FLAIR MRI.
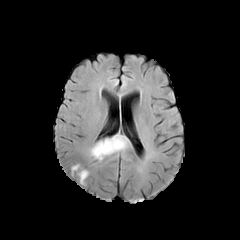
T1-weighted MR image.
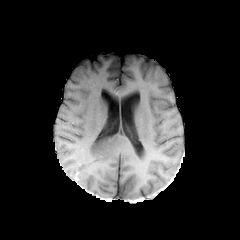
Post-contrast T1-weighted MR.
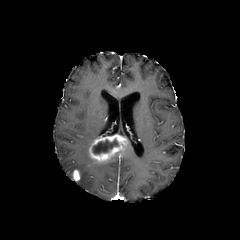
T2-weighted magnetic resonance.
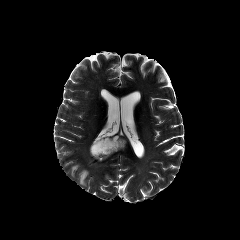
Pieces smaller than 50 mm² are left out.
The necrotic tumor core is bounded by 92, 140, 118, 154. The largest peritumoral edema region is located at 80, 170, 88, 184. 2 enhancing tumor regions are located at 88, 134, 129, 162; 72, 170, 80, 180.